FLAIR MR image.
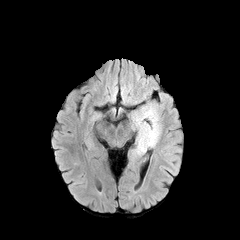
T1-weighted magnetic resonance.
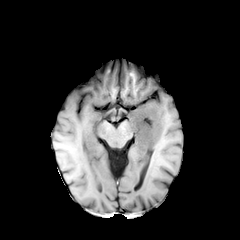
Post-contrast T1-weighted MRI.
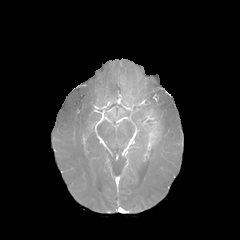
T2-weighted magnetic resonance.
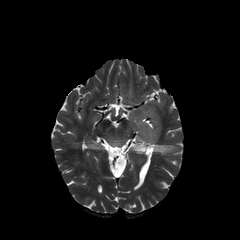
240x240; Axial slice
enhancing tumor = rect(135, 108, 161, 147)
peritumoral edema = rect(131, 103, 162, 130); rect(132, 132, 160, 155)